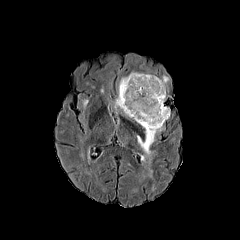
FLAIR MR.
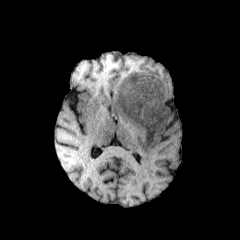
T1-weighted MR of the same slice.
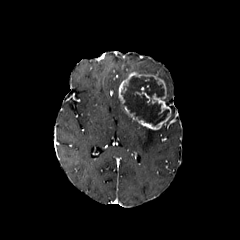
Same slice, post-contrast T1-weighted MRI.
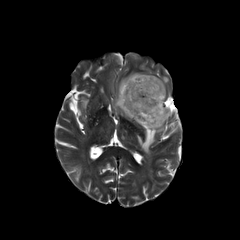
T2-weighted MR image of the same slice.
Axial view, Head, 240x240 px
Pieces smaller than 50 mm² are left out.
Segmented structures:
- necrotic tumor core: bbox=[122, 76, 169, 125]
- enhancing tumor: bbox=[118, 72, 170, 130]
- peritumoral edema: bbox=[114, 96, 128, 116]; bbox=[137, 126, 162, 154]